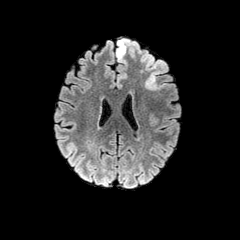
FLAIR MR image.
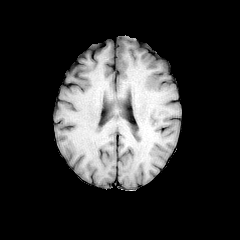
T1-weighted magnetic resonance.
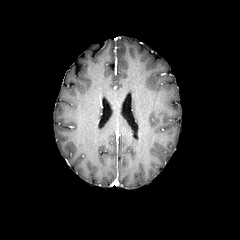
Post-contrast T1-weighted MR.
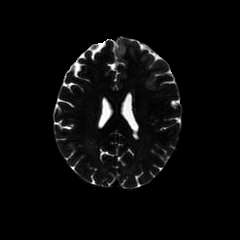
Same slice, T2-weighted MRI.
240x240
Segmented structures:
• peritumoral edema: {"x1": 145, "y1": 71, "x2": 161, "y2": 89}, {"x1": 116, "y1": 39, "x2": 138, "y2": 63}